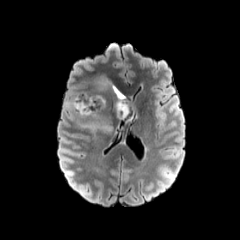
FLAIR magnetic resonance.
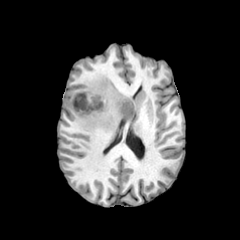
T1-weighted magnetic resonance.
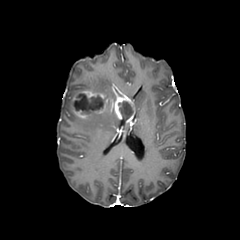
Post-contrast T1-weighted MRI.
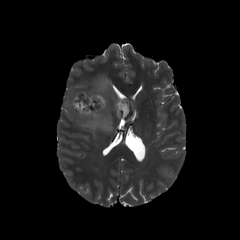
Same slice, T2-weighted MRI.
240x240, Head
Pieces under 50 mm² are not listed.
The 2 largest peritumoral edema regions are bounded by x1=92 y1=73 x2=112 y2=97, x1=84 y1=113 x2=113 y2=134. The 2 largest necrotic tumor core regions are bounded by x1=73 y1=93 x2=104 y2=114, x1=119 y1=101 x2=133 y2=116. The enhancing tumor appears at x1=71 y1=85 x2=135 y2=122.